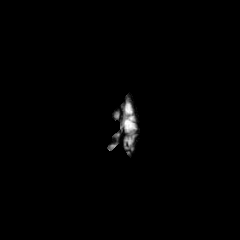
FLAIR MRI.
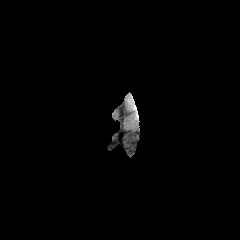
T1-weighted MR image of the same slice.
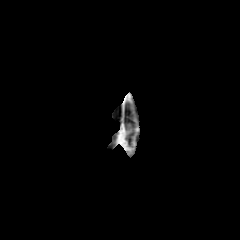
Same slice, post-contrast T1-weighted MR image.
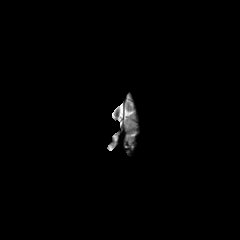
T2-weighted MRI.
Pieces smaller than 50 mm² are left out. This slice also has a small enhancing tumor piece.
<segmentation>
  <peritumoral_edema>x1=125 y1=117 x2=134 y2=129</peritumoral_edema>
</segmentation>